FLAIR MR image.
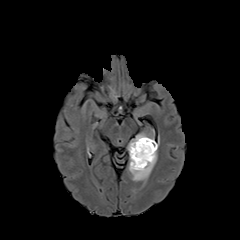
T1-weighted MRI.
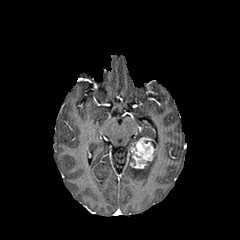
Post-contrast T1-weighted MR image.
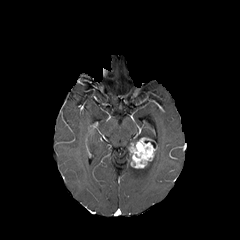
T2-weighted MR image.
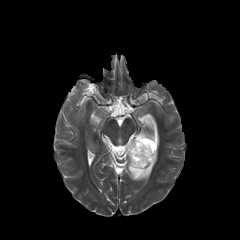
240x240; Head
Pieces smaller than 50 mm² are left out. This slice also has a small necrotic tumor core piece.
The enhancing tumor is at region(129, 137, 156, 168). The largest peritumoral edema region lies within region(128, 142, 159, 182).